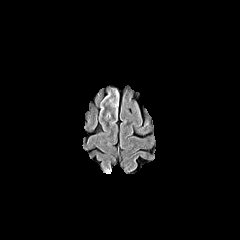
FLAIR MRI.
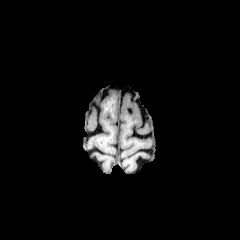
T1-weighted MR of the same slice.
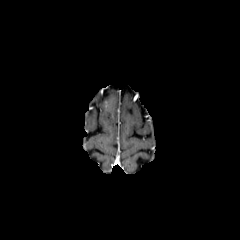
Same slice, post-contrast T1-weighted magnetic resonance.
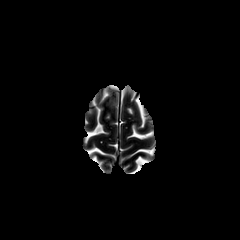
T2-weighted magnetic resonance of the same slice.
Brain; Axial slice
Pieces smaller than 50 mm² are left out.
The largest peritumoral edema region lies within (x1=105, y1=88, x2=118, y2=115).